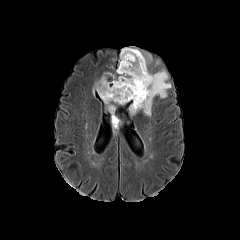
FLAIR MRI.
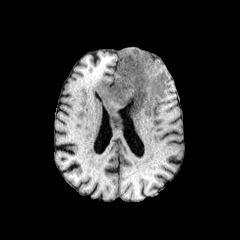
Same slice, T1-weighted MR.
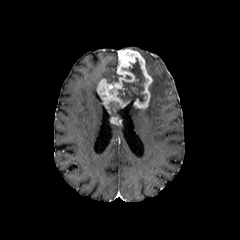
Post-contrast T1-weighted MRI.
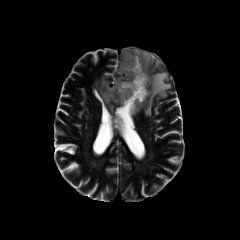
T2-weighted magnetic resonance of the same slice.
Axial plane | Image size 240x240 | Brain
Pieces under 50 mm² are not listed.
necrotic tumor core: l=118, t=58, r=144, b=101 | peritumoral edema: l=143, t=69, r=171, b=116; l=123, t=47, r=152, b=69; l=129, t=104, r=141, b=115; l=109, t=102, r=117, b=115 | enhancing tumor: l=97, t=49, r=152, b=112; l=110, t=116, r=121, b=125